Slice 79/155, Axial view, Head
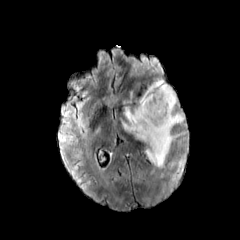
FLAIR MRI.
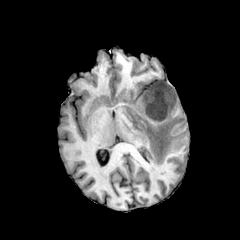
Same slice, T1-weighted MR image.
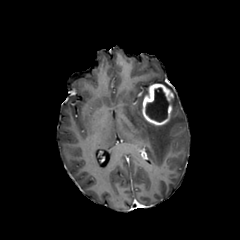
Post-contrast T1-weighted MR.
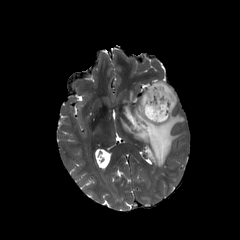
T2-weighted MR image.
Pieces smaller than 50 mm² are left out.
peritumoral edema: x1=172, y1=91, x2=176, y2=112; x1=122, y1=94, x2=184, y2=167 | enhancing tumor: x1=142, y1=83, x2=174, y2=125 | necrotic tumor core: x1=146, y1=88, x2=169, y2=121